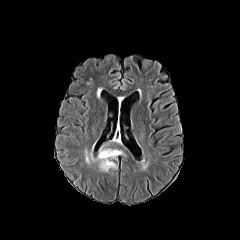
FLAIR MR image.
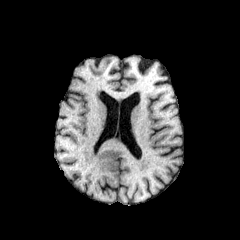
T1-weighted magnetic resonance of the same slice.
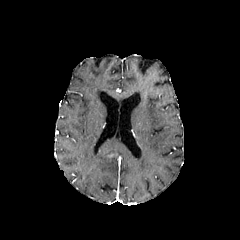
Post-contrast T1-weighted magnetic resonance of the same slice.
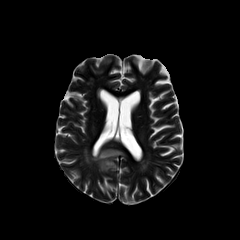
Same slice, T2-weighted magnetic resonance.
Brain. Axial slice.
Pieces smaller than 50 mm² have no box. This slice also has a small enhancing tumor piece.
peritumoral edema: rect(85, 147, 126, 171)